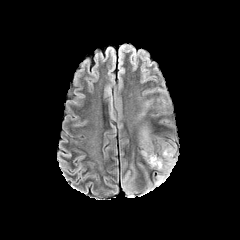
FLAIR magnetic resonance.
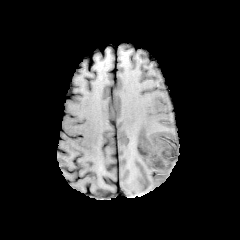
T1-weighted magnetic resonance.
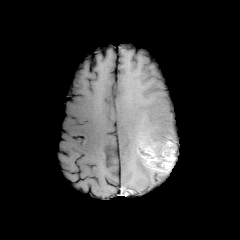
Post-contrast T1-weighted magnetic resonance.
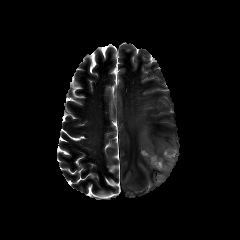
T2-weighted magnetic resonance of the same slice.
Brain
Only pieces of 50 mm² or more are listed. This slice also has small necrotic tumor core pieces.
peritumoral edema — bbox(155, 173, 168, 185)
enhancing tumor — bbox(141, 141, 176, 175)